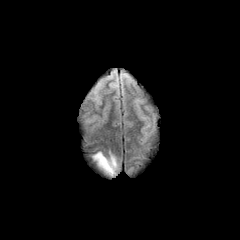
FLAIR MRI.
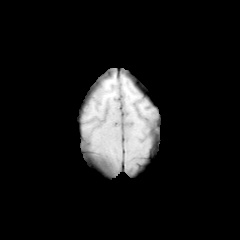
Same slice, T1-weighted MR image.
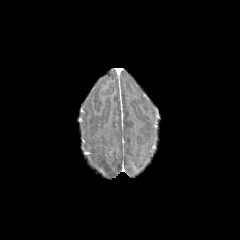
Post-contrast T1-weighted magnetic resonance.
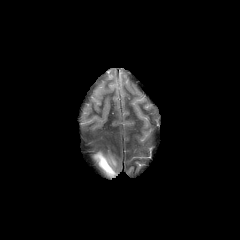
T2-weighted MR image.
Head, 240x240 px
peritumoral edema: bounding box region(92, 151, 118, 176)